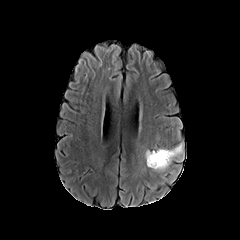
FLAIR MRI.
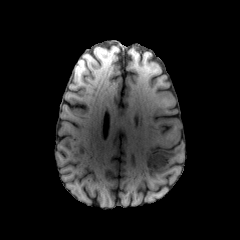
T1-weighted MRI.
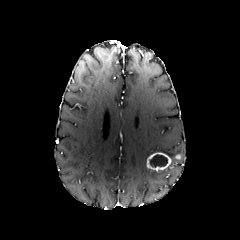
Post-contrast T1-weighted MR of the same slice.
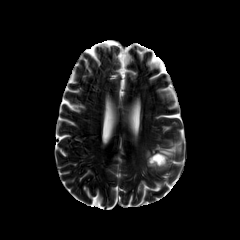
Same slice, T2-weighted magnetic resonance.
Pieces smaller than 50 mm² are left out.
peritumoral edema: [x1=144, y1=149, x2=154, y2=159], [x1=157, y1=141, x2=184, y2=162] | enhancing tumor: [x1=146, y1=152, x2=171, y2=171] | necrotic tumor core: [x1=149, y1=154, x2=167, y2=167]